FLAIR magnetic resonance.
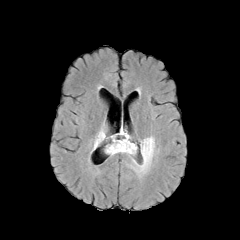
T1-weighted MRI.
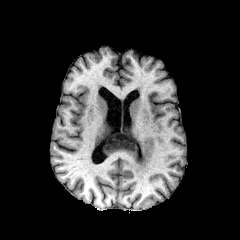
Post-contrast T1-weighted magnetic resonance.
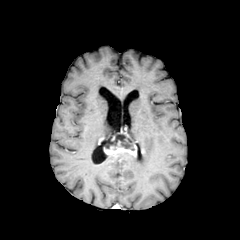
T2-weighted MRI.
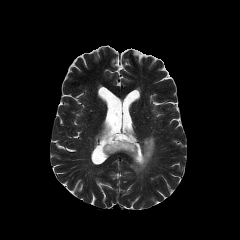
Brain; 240x240
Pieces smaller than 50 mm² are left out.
peritumoral edema: bbox=[93, 129, 106, 149]; bbox=[130, 136, 155, 174] | necrotic tumor core: bbox=[100, 133, 134, 150] | enhancing tumor: bbox=[98, 135, 114, 144]; bbox=[103, 141, 136, 155]